Image width 240 mm, 1.00 mm slice spacing; 240x240; Axial plane
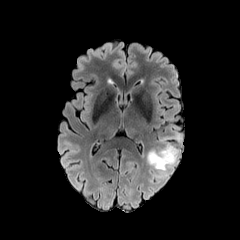
FLAIR MRI.
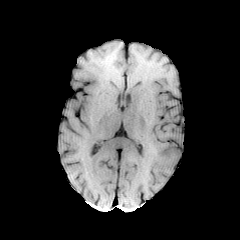
T1-weighted MRI of the same slice.
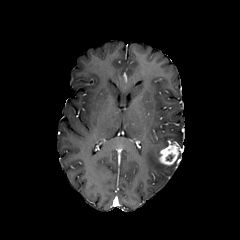
Post-contrast T1-weighted magnetic resonance of the same slice.
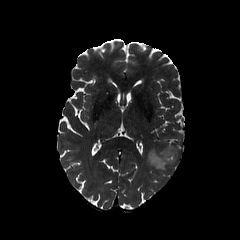
T2-weighted MRI.
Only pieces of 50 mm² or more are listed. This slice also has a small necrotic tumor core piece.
• peritumoral edema: (left=161, top=134, right=182, bottom=143), (left=147, top=142, right=177, bottom=171)
• enhancing tumor: (left=159, top=142, right=180, bottom=165)